FLAIR MRI.
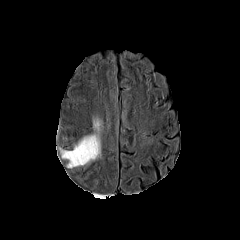
T1-weighted MRI.
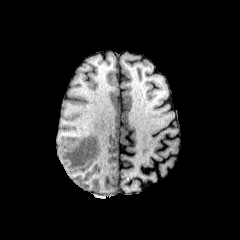
Post-contrast T1-weighted MR image.
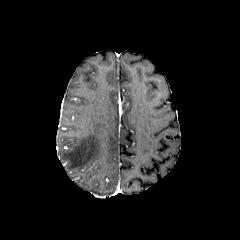
T2-weighted magnetic resonance.
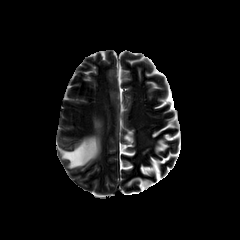
240x240 px | Brain
peritumoral edema: bounding box x1=94 y1=120 x2=100 y2=132, x1=60 y1=135 x2=100 y2=168